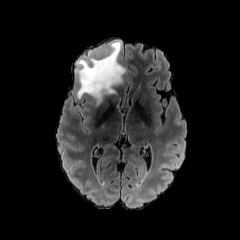
FLAIR MRI.
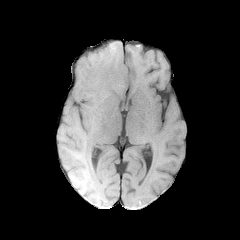
T1-weighted magnetic resonance.
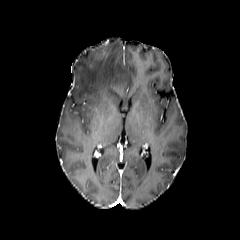
Post-contrast T1-weighted magnetic resonance of the same slice.
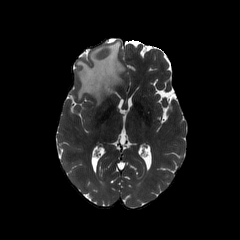
Same slice, T2-weighted MR image.
Brain, Image size 240x240
<segmentation>
  <peritumoral_edema>bbox=[77, 41, 125, 104]</peritumoral_edema>
</segmentation>